FLAIR MR image.
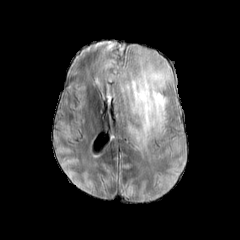
T1-weighted MR image.
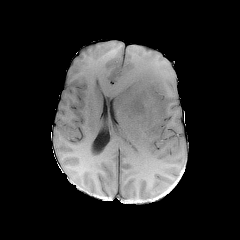
Post-contrast T1-weighted MRI.
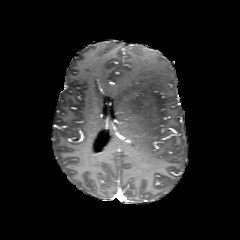
T2-weighted MR.
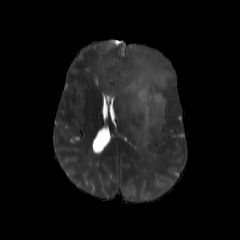
Head.
{
  "peritumoral_edema": [
    {"x1": 115, "y1": 64, "x2": 172, "y2": 144}
  ]
}